Axial slice; Head; Image width 240 mm, 1.00 mm slice spacing; Slice 118 of 155
FLAIR MR.
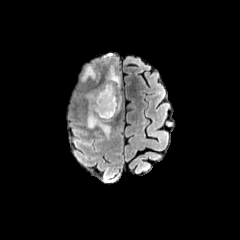
T1-weighted magnetic resonance.
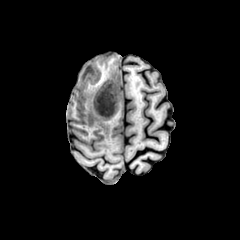
Post-contrast T1-weighted MR image.
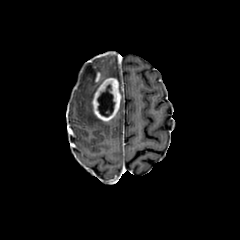
T2-weighted MR image.
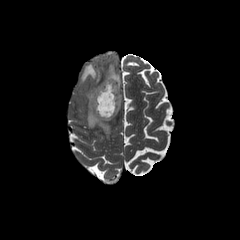
necrotic tumor core: (97,84,114,116) | peritumoral edema: (82,65,96,82), (108,66,120,88), (87,93,110,138) | enhancing tumor: (92,78,121,121)